FLAIR magnetic resonance.
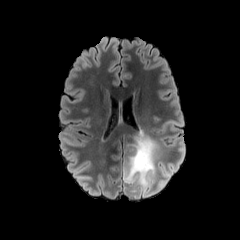
T1-weighted MR image.
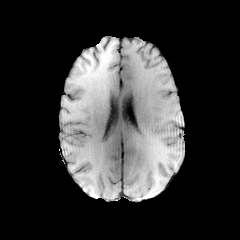
Post-contrast T1-weighted magnetic resonance.
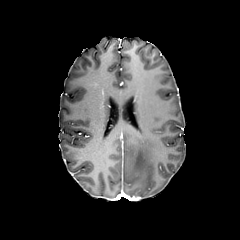
T2-weighted MRI.
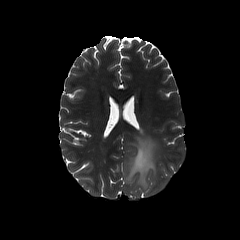
{"peritumoral_edema": ["[124,134,158,192]", "[152,165,169,193]"]}